Slice 79/155, Axial plane, Brain
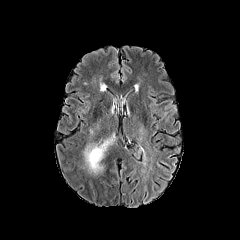
FLAIR MRI.
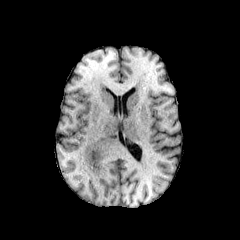
T1-weighted MR.
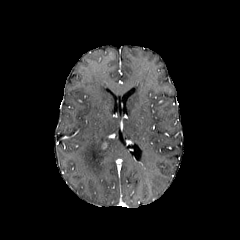
Post-contrast T1-weighted MR.
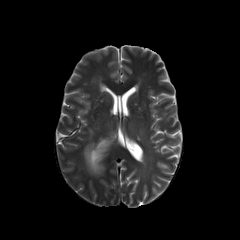
T2-weighted MRI of the same slice.
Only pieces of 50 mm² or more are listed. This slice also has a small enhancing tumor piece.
The largest peritumoral edema region is bounded by l=84, t=138, r=114, b=174.